Axial view, 240x240, Brain, Slice 38/155
FLAIR MR.
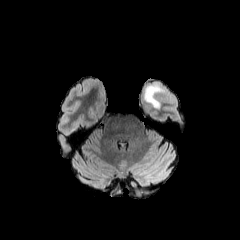
T1-weighted MR.
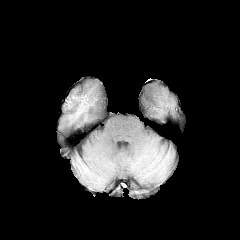
Post-contrast T1-weighted magnetic resonance.
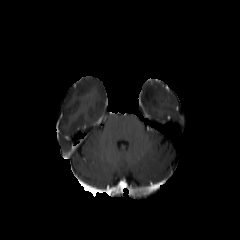
T2-weighted magnetic resonance.
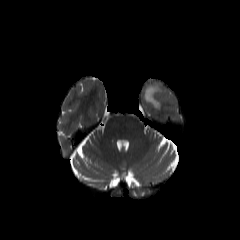
peritumoral edema — [143, 83, 167, 108]